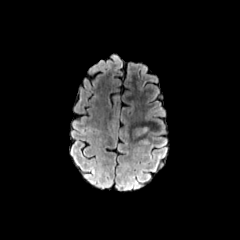
FLAIR MRI.
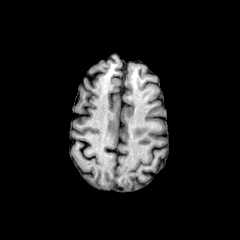
T1-weighted MRI.
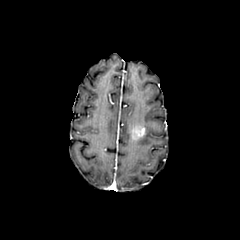
Post-contrast T1-weighted MR of the same slice.
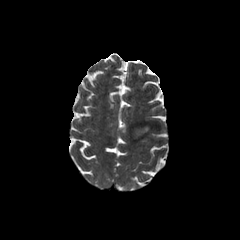
T2-weighted magnetic resonance.
Brain
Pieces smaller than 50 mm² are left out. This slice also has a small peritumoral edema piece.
<segmentation>
  <enhancing_tumor><bbox>131, 124, 145, 139</bbox></enhancing_tumor>
</segmentation>